240x240 px; Slice 100 of 155
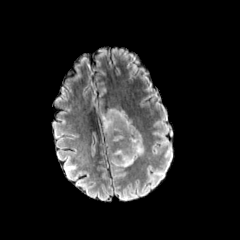
FLAIR MRI.
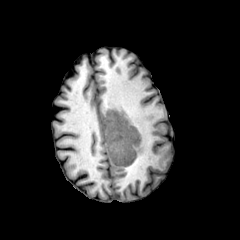
T1-weighted MRI.
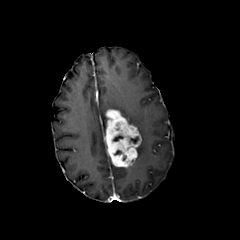
Post-contrast T1-weighted magnetic resonance of the same slice.
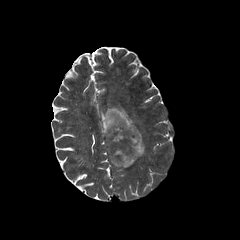
T2-weighted MR image of the same slice.
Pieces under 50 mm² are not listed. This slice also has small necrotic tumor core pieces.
The enhancing tumor is at left=104, top=109, right=141, bottom=167. The 3 largest peritumoral edema regions are located at left=101, top=112, right=106, bottom=135; left=119, top=110, right=133, bottom=124; left=137, top=137, right=143, bottom=156.